FLAIR MRI.
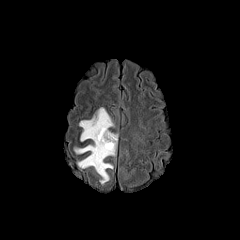
T1-weighted MRI.
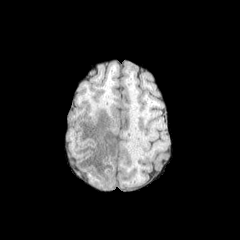
Post-contrast T1-weighted magnetic resonance.
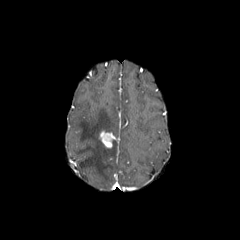
T2-weighted MRI.
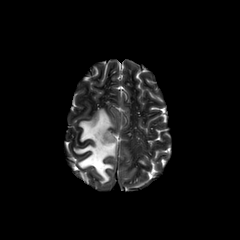
Axial plane
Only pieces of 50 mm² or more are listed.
peritumoral edema — {"x1": 74, "y1": 108, "x2": 117, "y2": 184}
enhancing tumor — {"x1": 99, "y1": 130, "x2": 116, "y2": 148}